FLAIR magnetic resonance.
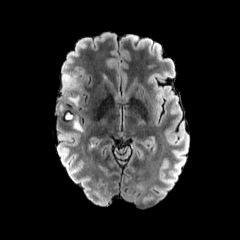
T1-weighted MR.
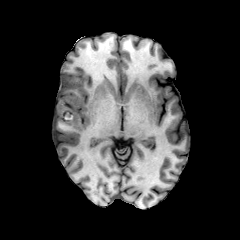
Post-contrast T1-weighted magnetic resonance.
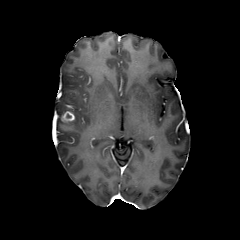
T2-weighted MR image.
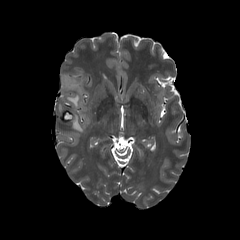
Brain
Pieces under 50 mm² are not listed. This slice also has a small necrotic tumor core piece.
<segmentation>
  <peritumoral_edema>left=67, top=96, right=79, bottom=106; left=73, top=119, right=82, bottom=131; left=62, top=72, right=77, bottom=90</peritumoral_edema>
  <enhancing_tumor>left=61, top=111, right=74, bottom=121</enhancing_tumor>
</segmentation>